FLAIR MR.
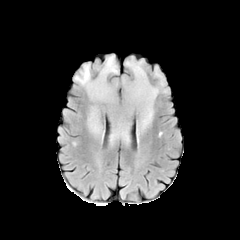
T1-weighted magnetic resonance.
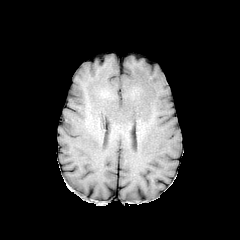
Post-contrast T1-weighted magnetic resonance.
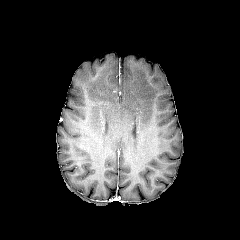
T2-weighted magnetic resonance.
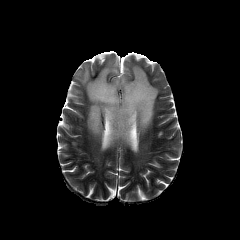
240x240
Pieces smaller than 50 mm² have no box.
peritumoral edema at bbox=[155, 68, 163, 86]; bbox=[75, 55, 159, 143]